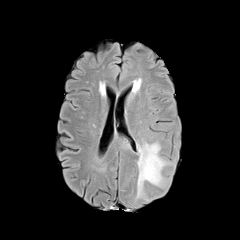
FLAIR MR image.
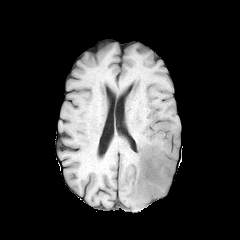
T1-weighted MR image.
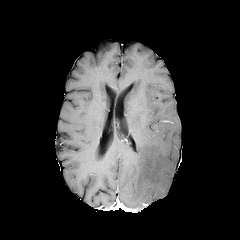
Post-contrast T1-weighted MRI of the same slice.
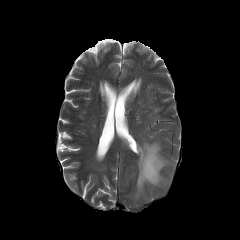
T2-weighted MRI.
240x240.
peritumoral edema at box=[135, 142, 171, 199]; box=[122, 141, 131, 149]